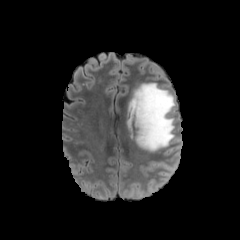
FLAIR MRI.
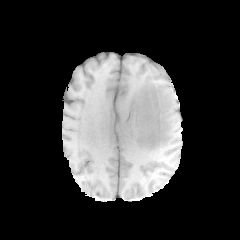
T1-weighted MR image.
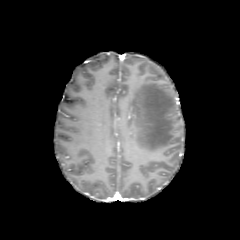
Post-contrast T1-weighted MRI.
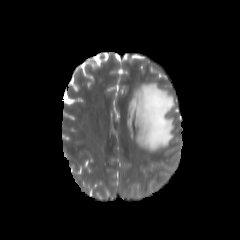
T2-weighted MRI.
Axial plane, 240x240 px, Brain
{
  "peritumoral_edema": [
    "region(128, 83, 175, 151)"
  ]
}